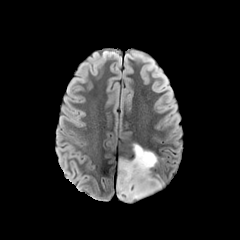
FLAIR MR image.
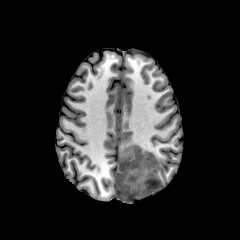
T1-weighted MRI.
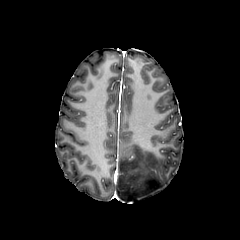
Same slice, post-contrast T1-weighted MRI.
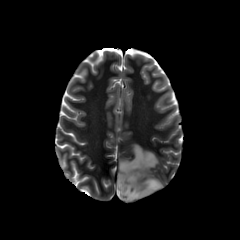
T2-weighted MR image.
Head. Axial plane.
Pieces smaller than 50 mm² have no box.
• peritumoral edema: <box>116,144,164,201</box>